Slice index 123
FLAIR MRI.
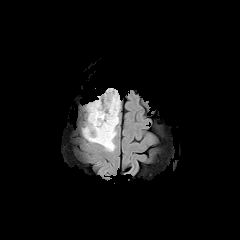
T1-weighted MRI.
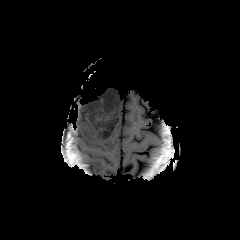
Post-contrast T1-weighted MR image.
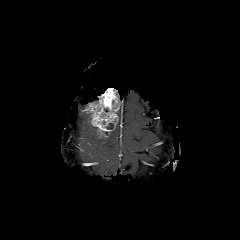
T2-weighted magnetic resonance.
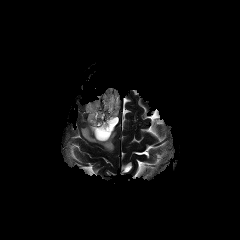
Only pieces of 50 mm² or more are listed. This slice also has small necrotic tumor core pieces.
The largest peritumoral edema region lies within left=82, top=114, right=116, bottom=151. The enhancing tumor lies within left=85, top=88, right=120, bottom=139.